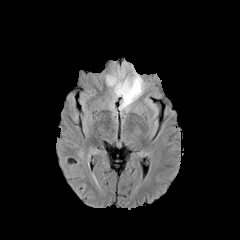
FLAIR MR image.
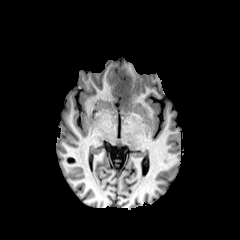
T1-weighted magnetic resonance.
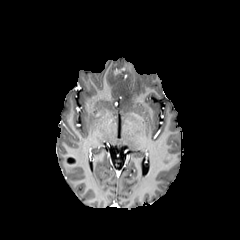
Same slice, post-contrast T1-weighted magnetic resonance.
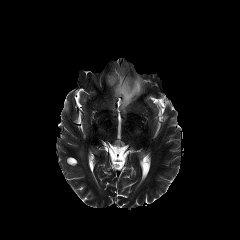
Same slice, T2-weighted MR image.
Axial view | Brain
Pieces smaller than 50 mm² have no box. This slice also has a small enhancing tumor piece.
The largest peritumoral edema region is located at (106, 70, 144, 110).